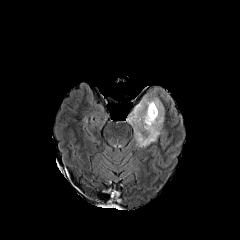
FLAIR magnetic resonance.
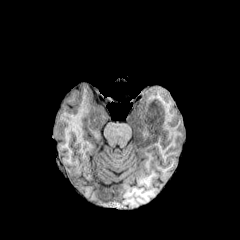
T1-weighted MR of the same slice.
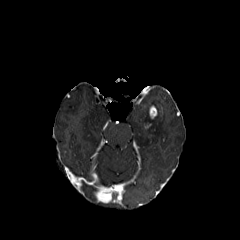
Post-contrast T1-weighted MR.
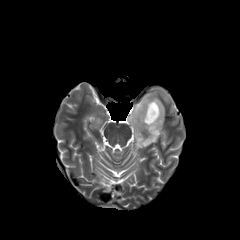
Same slice, T2-weighted MRI.
Axial plane; Brain
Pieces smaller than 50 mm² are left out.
peritumoral edema = box=[127, 93, 164, 147]
enhancing tumor = box=[149, 105, 157, 119]